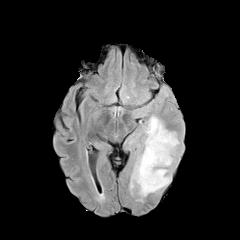
FLAIR MR image.
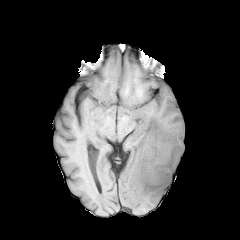
Same slice, T1-weighted MRI.
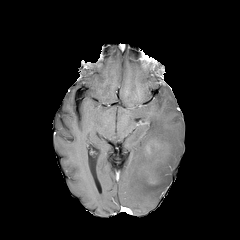
Post-contrast T1-weighted MR of the same slice.
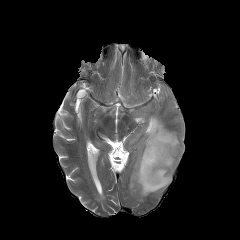
T2-weighted magnetic resonance.
240x240 px | Brain
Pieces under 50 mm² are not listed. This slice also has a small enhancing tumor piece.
peritumoral edema = 129, 115, 180, 200